Brain; Image width 240 mm
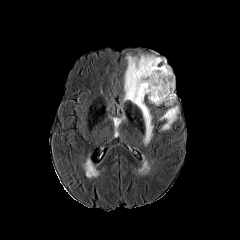
FLAIR MR image.
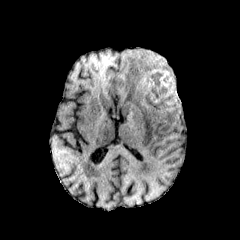
T1-weighted MRI.
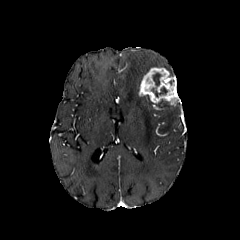
Same slice, post-contrast T1-weighted MR image.
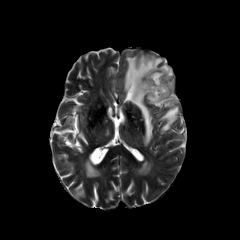
T2-weighted magnetic resonance.
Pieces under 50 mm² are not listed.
Findings:
* peritumoral edema: bbox(124, 54, 173, 145); bbox(159, 105, 178, 130)
* enhancing tumor: bbox(138, 67, 177, 105)
* necrotic tumor core: bbox(153, 73, 161, 85); bbox(151, 87, 167, 96)